FLAIR MR.
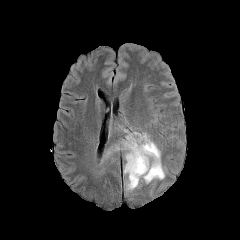
T1-weighted magnetic resonance.
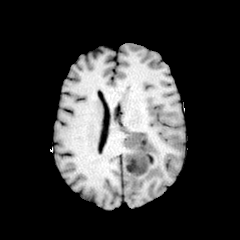
Post-contrast T1-weighted MRI.
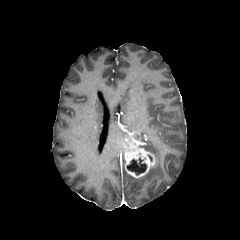
T2-weighted MR image.
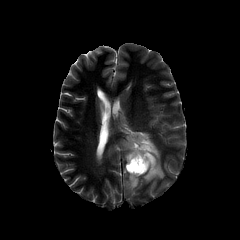
Axial slice
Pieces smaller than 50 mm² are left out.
peritumoral edema: box(126, 174, 139, 189); box(136, 133, 164, 183)
enhancing tumor: box(122, 132, 155, 177)
necrotic tumor core: box(126, 157, 146, 174)